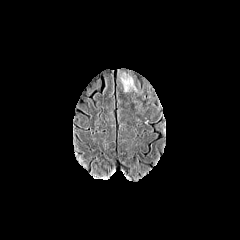
FLAIR MR image.
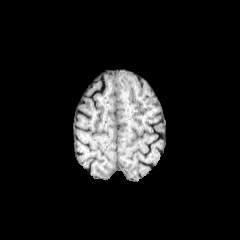
T1-weighted MRI.
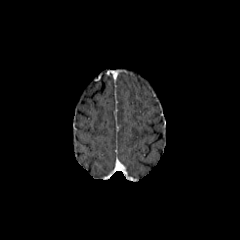
Post-contrast T1-weighted magnetic resonance of the same slice.
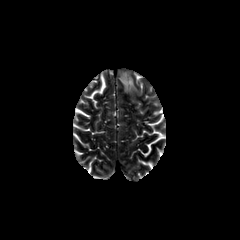
Same slice, T2-weighted MR image.
240x240 px | Axial view
The peritumoral edema lies within bbox(121, 74, 136, 91).